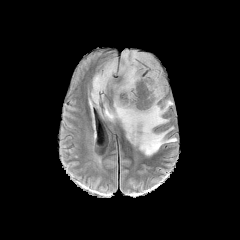
FLAIR MR image.
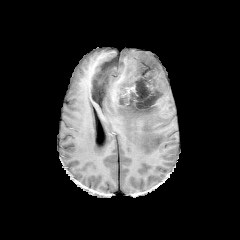
T1-weighted MR image.
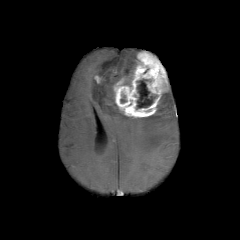
Post-contrast T1-weighted magnetic resonance.
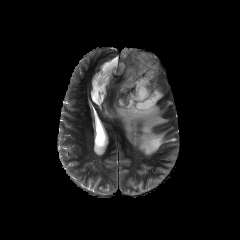
Same slice, T2-weighted MR image.
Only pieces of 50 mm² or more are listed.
necrotic tumor core: 137,79,156,108 | enhancing tumor: 94,75,103,83; 113,51,168,117 | peritumoral edema: 91,49,176,156